Axial slice, Head
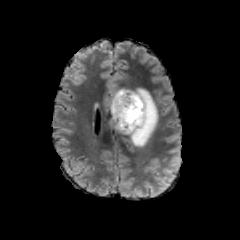
FLAIR MR.
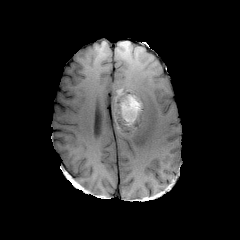
T1-weighted magnetic resonance.
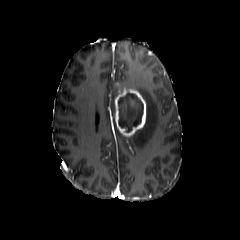
Same slice, post-contrast T1-weighted magnetic resonance.
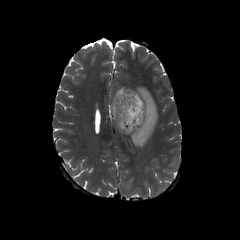
T2-weighted MR image.
Annotated regions:
• peritumoral edema: [129, 87, 158, 147], [111, 88, 132, 132]
• enhancing tumor: [113, 89, 146, 136]
• necrotic tumor core: [118, 92, 143, 132]